FLAIR MRI.
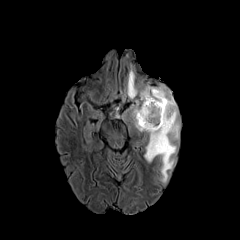
T1-weighted MRI.
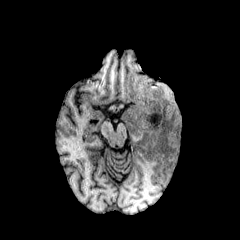
Post-contrast T1-weighted magnetic resonance.
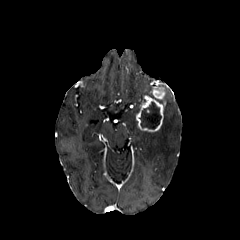
T2-weighted MR image.
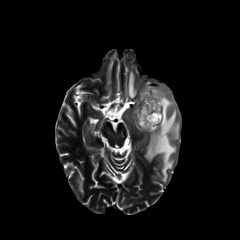
Axial plane
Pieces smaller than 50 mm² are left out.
necrotic tumor core = [140, 102, 161, 129]
enhancing tumor = [136, 95, 165, 132], [150, 82, 165, 100]
peritumoral edema = [127, 67, 137, 98], [132, 100, 142, 131], [144, 84, 180, 182], [140, 85, 151, 101]